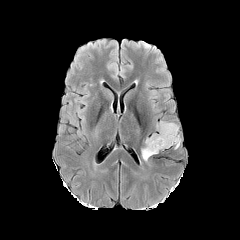
FLAIR MR image.
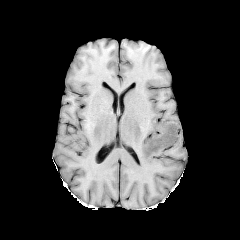
T1-weighted MR.
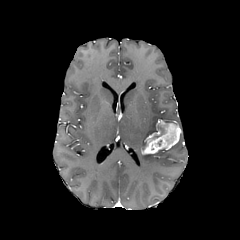
Same slice, post-contrast T1-weighted MRI.
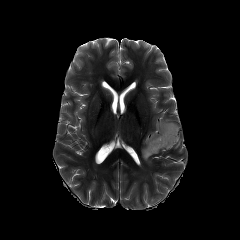
Same slice, T2-weighted magnetic resonance.
Axial slice.
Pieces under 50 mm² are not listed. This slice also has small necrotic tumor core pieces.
Findings:
• peritumoral edema: 142 154 153 161
• enhancing tumor: 142 120 180 154